FLAIR MR.
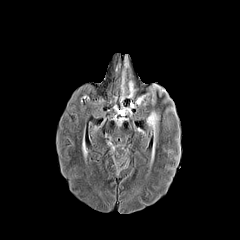
T1-weighted MR.
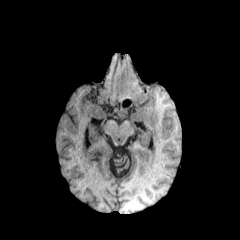
Post-contrast T1-weighted MRI.
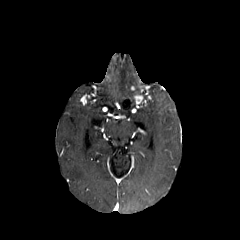
T2-weighted MR image.
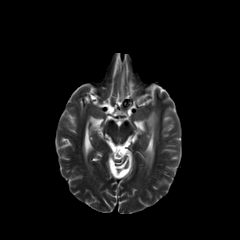
Axial slice
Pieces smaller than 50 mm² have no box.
* enhancing tumor: x1=134, y1=94, x2=143, y2=104
* peritumoral edema: x1=146, y1=112, x2=158, y2=156; x1=120, y1=70, x2=134, y2=101